FLAIR MR image.
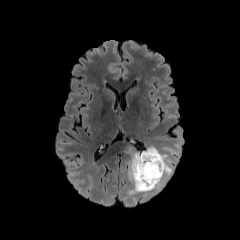
T1-weighted MR.
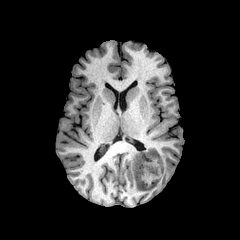
Post-contrast T1-weighted MRI.
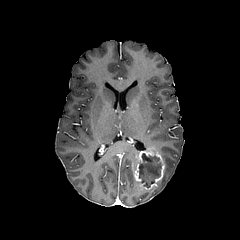
T2-weighted MR image.
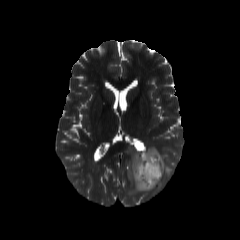
Axial view
peritumoral edema = x1=125, y1=143, x2=180, y2=196; x1=145, y1=145, x2=158, y2=152
enhancing tumor = x1=133, y1=150, x2=165, y2=190
necrotic tumor core = x1=139, y1=153, x2=161, y2=186